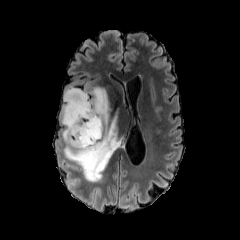
FLAIR MR.
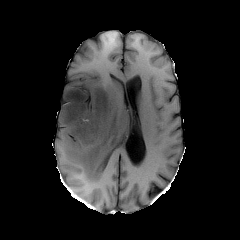
T1-weighted MRI.
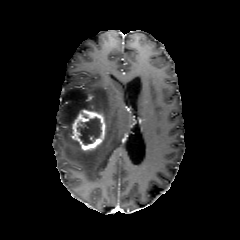
Post-contrast T1-weighted magnetic resonance.
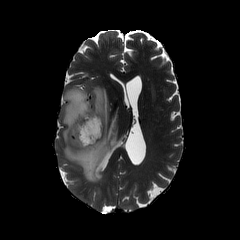
Same slice, T2-weighted MR image.
Axial slice. Head.
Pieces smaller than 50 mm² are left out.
Annotated regions:
* necrotic tumor core: 77, 117, 101, 144
* enhancing tumor: 72, 109, 106, 150
* peritumoral edema: 61, 87, 121, 182